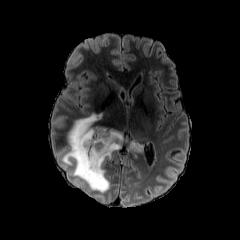
FLAIR MR.
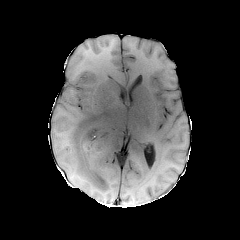
Same slice, T1-weighted MR image.
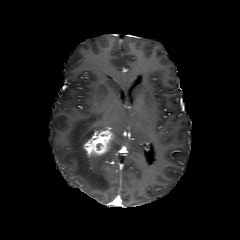
Post-contrast T1-weighted MR image.
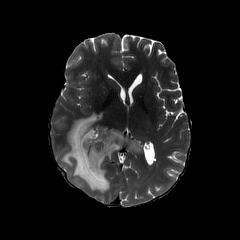
Same slice, T2-weighted MR image.
Axial view | 240x240 | Brain
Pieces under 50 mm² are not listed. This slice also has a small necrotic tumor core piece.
The enhancing tumor appears at 83:128:114:157. 2 peritumoral edema regions appear at 61:113:126:192, 129:141:141:151.